Head; Image width 240 mm, 1.00 mm slice spacing; 240x240; Slice index 103; Axial plane
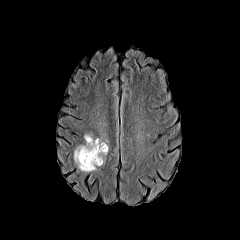
FLAIR magnetic resonance.
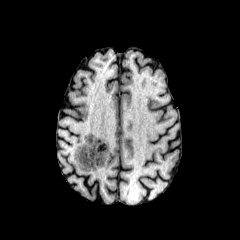
T1-weighted MRI.
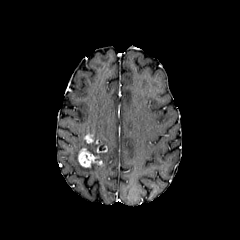
Same slice, post-contrast T1-weighted MRI.
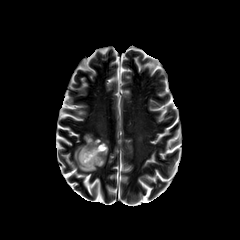
T2-weighted MR image.
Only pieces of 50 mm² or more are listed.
The 2 largest peritumoral edema regions are bounded by box(98, 151, 108, 162); box(74, 143, 96, 173). The 2 largest enhancing tumor regions are located at box(84, 134, 93, 143); box(78, 148, 102, 167). The largest necrotic tumor core region is bounded by box(90, 142, 105, 155).